Axial plane | 240x240
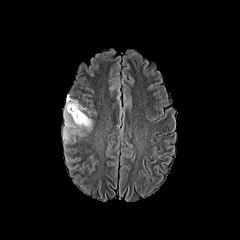
FLAIR MRI.
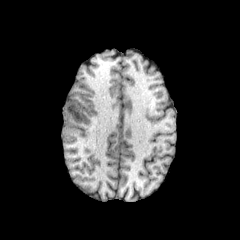
Same slice, T1-weighted MRI.
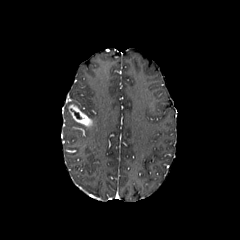
Post-contrast T1-weighted MR of the same slice.
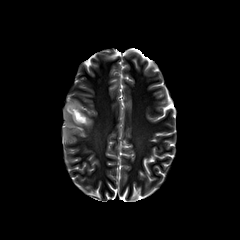
T2-weighted MR image.
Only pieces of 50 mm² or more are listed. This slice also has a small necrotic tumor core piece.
enhancing tumor — x1=68 y1=103 x2=92 y2=128
peritumoral edema — x1=63 y1=100 x2=92 y2=143